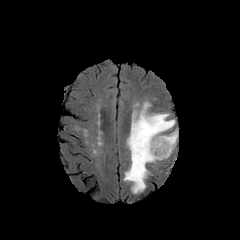
FLAIR magnetic resonance.
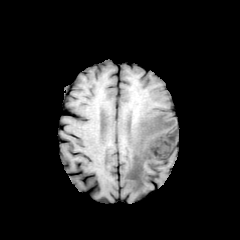
Same slice, T1-weighted magnetic resonance.
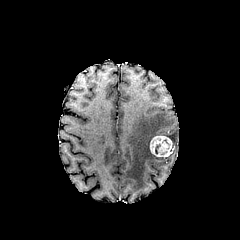
Post-contrast T1-weighted MRI.
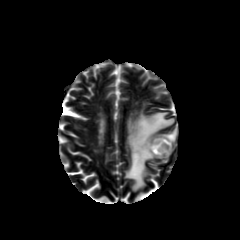
Same slice, T2-weighted MR image.
Brain, Axial slice
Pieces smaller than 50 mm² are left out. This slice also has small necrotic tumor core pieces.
Annotated regions:
* enhancing tumor: 149,135,173,157
* peritumoral edema: 124,102,178,193